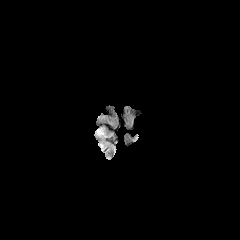
FLAIR MR.
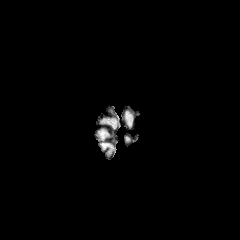
T1-weighted MRI.
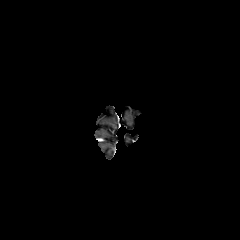
Post-contrast T1-weighted MR of the same slice.
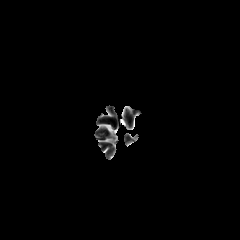
Same slice, T2-weighted MR.
Axial view; Brain
peritumoral edema: [x1=97, y1=128, x2=106, y2=136]